Slice index 66, Axial plane
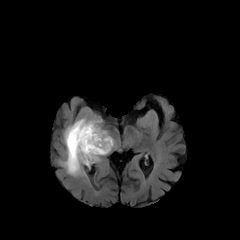
FLAIR magnetic resonance.
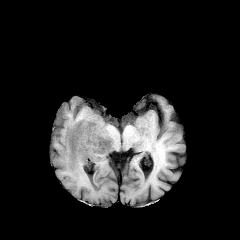
Same slice, T1-weighted MRI.
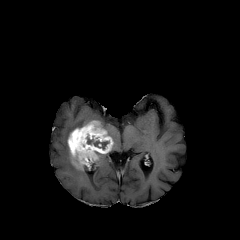
Post-contrast T1-weighted magnetic resonance.
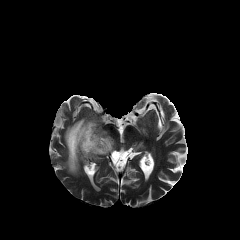
Same slice, T2-weighted MRI.
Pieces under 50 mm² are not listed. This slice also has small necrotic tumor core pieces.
enhancing tumor at x1=67, y1=120, x2=113, y2=169
peritumoral edema at x1=59, y1=117, x2=102, y2=176